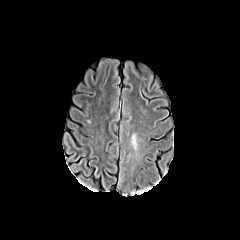
FLAIR MRI.
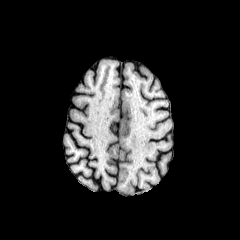
T1-weighted MRI of the same slice.
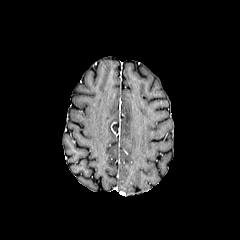
Post-contrast T1-weighted magnetic resonance.
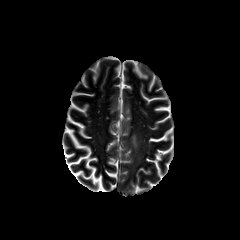
T2-weighted magnetic resonance.
peritumoral edema: x1=131, y1=135, x2=136, y2=148